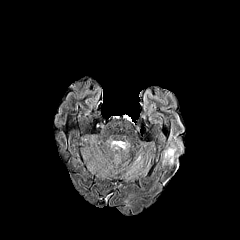
FLAIR MR image.
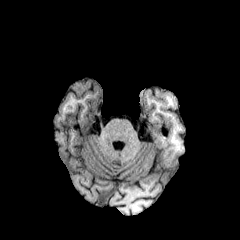
Same slice, T1-weighted MR image.
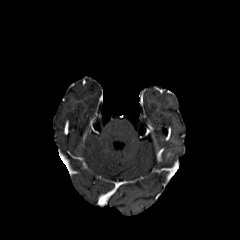
Post-contrast T1-weighted magnetic resonance.
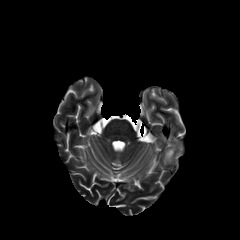
T2-weighted MR image.
Axial plane | Image size 240x240
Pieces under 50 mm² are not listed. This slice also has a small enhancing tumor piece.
{"peritumoral_edema": [{"x1": 164, "y1": 148, "x2": 176, "y2": 158}, {"x1": 168, "y1": 155, "x2": 174, "y2": 164}]}